FLAIR MRI.
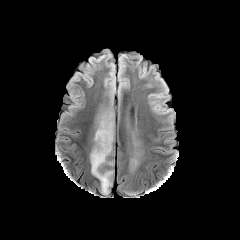
T1-weighted MR image.
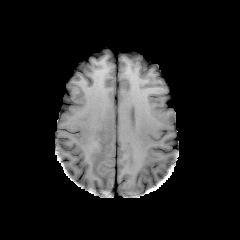
Post-contrast T1-weighted MR image.
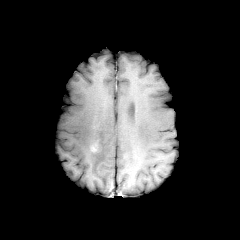
T2-weighted MRI.
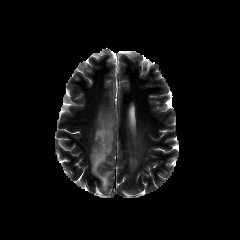
Axial plane.
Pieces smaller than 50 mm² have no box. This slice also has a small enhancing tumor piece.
{"peritumoral_edema": ["bbox(90, 115, 113, 192)"]}